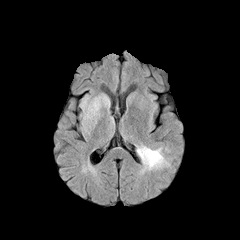
FLAIR MRI.
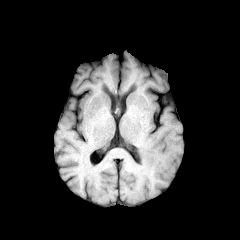
T1-weighted MR of the same slice.
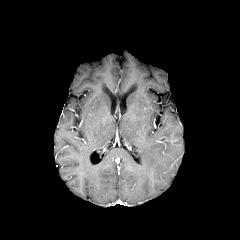
Post-contrast T1-weighted MR.
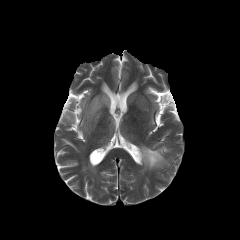
Same slice, T2-weighted MR image.
Head, Axial slice
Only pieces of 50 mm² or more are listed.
{
  "peritumoral_edema": [
    "81,94,108,137",
    "136,145,168,169"
  ]
}